Slice 113/155
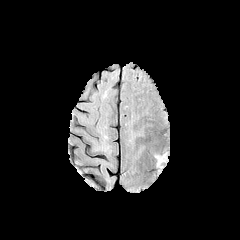
FLAIR MR.
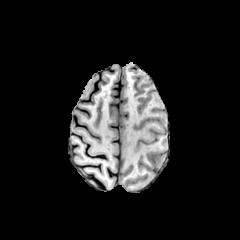
T1-weighted MR.
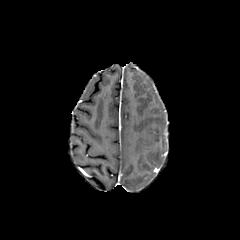
Post-contrast T1-weighted MR image.
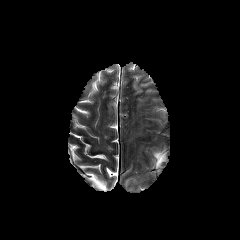
T2-weighted magnetic resonance.
Annotated regions:
* peritumoral edema: 155,154,163,165